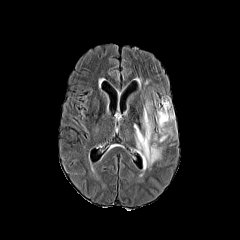
FLAIR MRI.
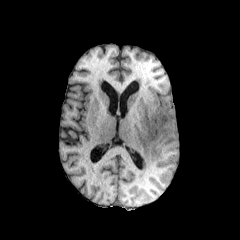
Same slice, T1-weighted MRI.
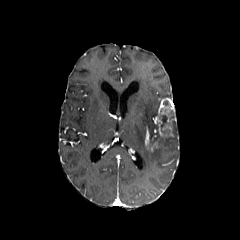
Post-contrast T1-weighted MRI.
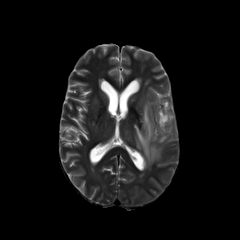
T2-weighted magnetic resonance of the same slice.
Brain
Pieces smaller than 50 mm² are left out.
enhancing_tumor:
  - (left=145, top=127, right=156, bottom=151)
  - (left=153, top=98, right=175, bottom=137)
peritumoral_edema:
  - (left=172, top=121, right=176, bottom=136)
  - (left=134, top=99, right=167, bottom=167)
necrotic_tumor_core:
  - (left=160, top=115, right=169, bottom=134)